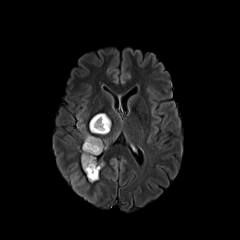
FLAIR MR.
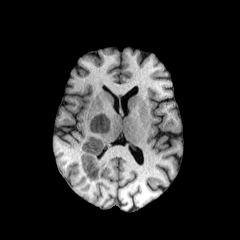
T1-weighted magnetic resonance of the same slice.
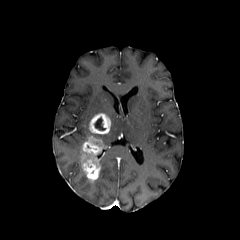
Post-contrast T1-weighted magnetic resonance of the same slice.
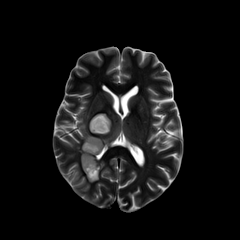
T2-weighted MRI.
Head
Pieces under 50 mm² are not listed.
* enhancing tumor: 89 113 111 134, 81 136 104 180
* necrotic tumor core: 94 117 105 130
* peritumoral edema: 77 118 91 140